FLAIR MR image.
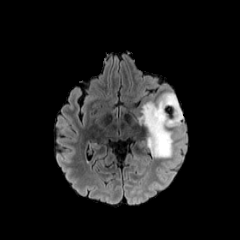
T1-weighted magnetic resonance.
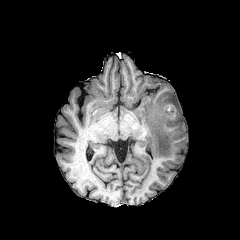
Post-contrast T1-weighted MR.
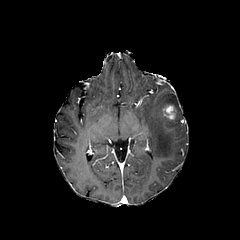
T2-weighted MR.
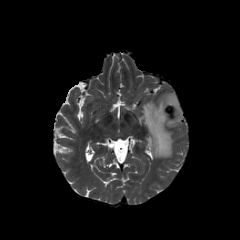
Axial slice
Segmented structures:
* peritumoral edema: 131:92:183:158
* enhancing tumor: 161:104:176:119